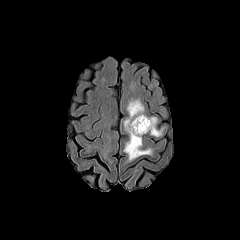
FLAIR magnetic resonance.
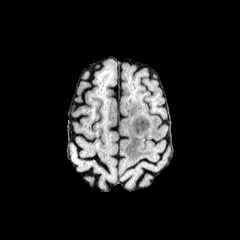
T1-weighted magnetic resonance of the same slice.
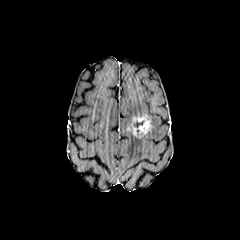
Post-contrast T1-weighted MR image.
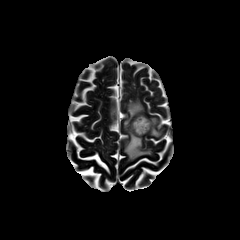
T2-weighted MR image.
Axial slice | Image size 240x240 | Head
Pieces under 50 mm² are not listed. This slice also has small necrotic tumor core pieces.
3 peritumoral edema regions are located at [149,117,161,136], [124,99,144,130], [124,131,152,160]. The enhancing tumor is bounded by [127,115,151,137].